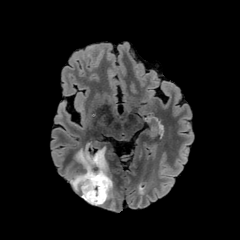
FLAIR MR image.
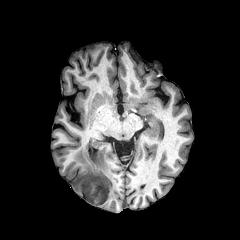
T1-weighted MR.
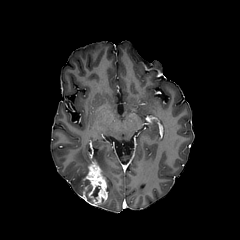
Same slice, post-contrast T1-weighted MR image.
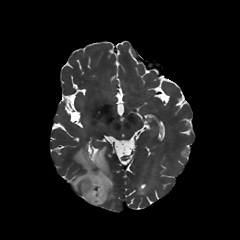
Same slice, T2-weighted MR.
Brain
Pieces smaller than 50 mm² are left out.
Annotated regions:
- enhancing tumor: bbox(81, 163, 107, 205)
- necrotic tumor core: bbox(91, 186, 99, 201); bbox(86, 186, 93, 202)
- peritumoral edema: bbox(69, 145, 114, 206)